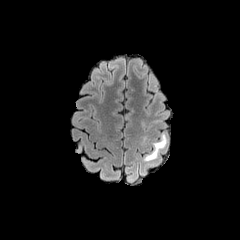
FLAIR MR image.
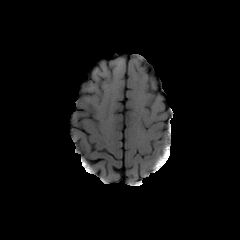
T1-weighted MR image.
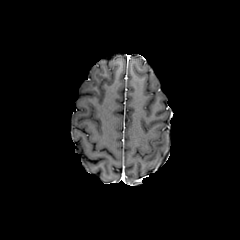
Post-contrast T1-weighted magnetic resonance.
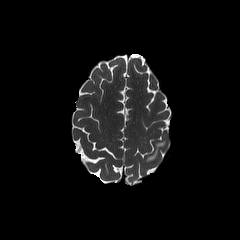
T2-weighted magnetic resonance.
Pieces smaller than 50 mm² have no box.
<segmentation>
  <peritumoral_edema>{"x1": 145, "y1": 134, "x2": 165, "y2": 160}</peritumoral_edema>
</segmentation>